Axial slice | Head
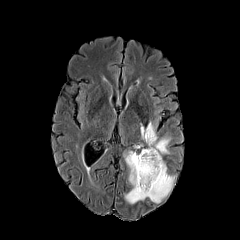
FLAIR MR.
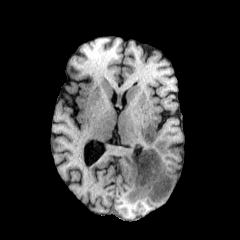
T1-weighted magnetic resonance of the same slice.
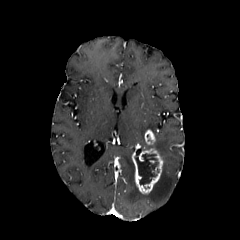
Post-contrast T1-weighted MR image.
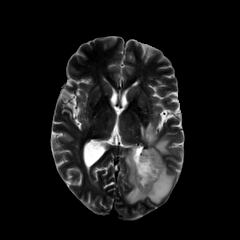
Same slice, T2-weighted MRI.
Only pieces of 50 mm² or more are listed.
peritumoral edema: bounding box <box>140,122,170,156</box>, <box>124,151,174,203</box>
necrotic tumor core: bounding box <box>135,153,158,185</box>
enhancing tumor: bounding box <box>131,148,163,194</box>, <box>144,129,155,144</box>